FLAIR MRI.
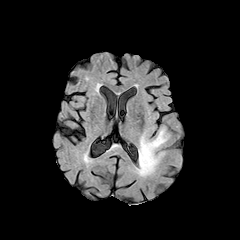
T1-weighted MR.
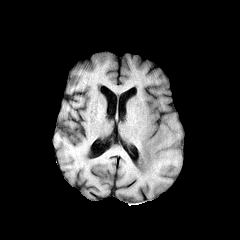
Post-contrast T1-weighted MR.
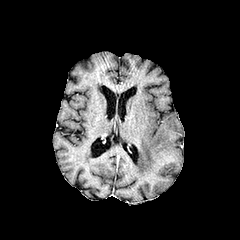
T2-weighted magnetic resonance.
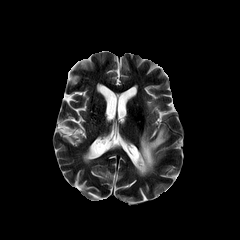
Head, Axial slice
peritumoral edema: 136, 126, 169, 176